Slice 79 of 155
FLAIR MRI.
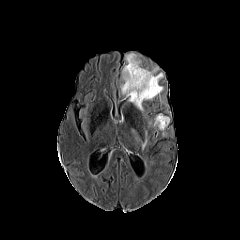
T1-weighted MRI.
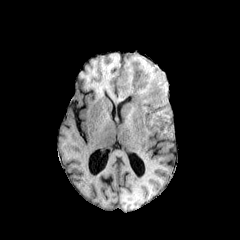
Post-contrast T1-weighted MR.
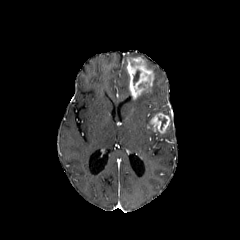
T2-weighted magnetic resonance.
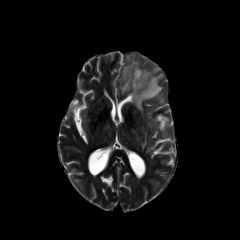
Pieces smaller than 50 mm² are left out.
enhancing tumor — l=149, t=113, r=170, b=134; l=126, t=56, r=154, b=99
peritumoral edema — l=125, t=53, r=140, b=62; l=120, t=65, r=163, b=111
necrotic tumor core — l=133, t=70, r=140, b=84